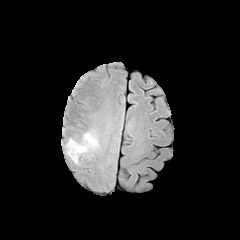
FLAIR MR.
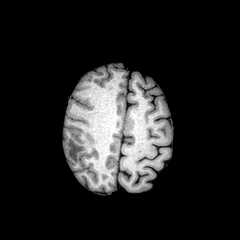
T1-weighted MRI.
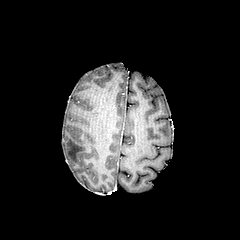
Post-contrast T1-weighted magnetic resonance.
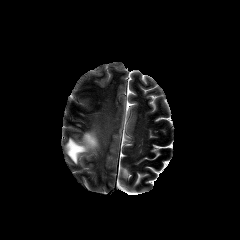
T2-weighted MR.
Head
The peritumoral edema appears at 66, 132, 98, 163.